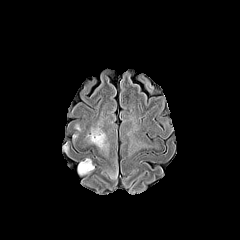
FLAIR magnetic resonance.
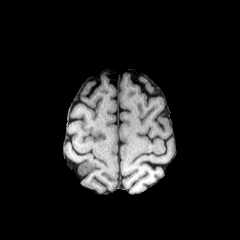
T1-weighted MR image.
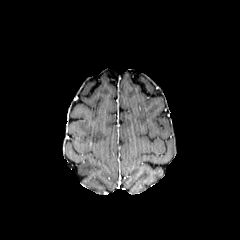
Same slice, post-contrast T1-weighted MR.
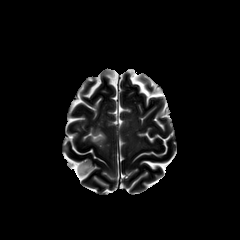
T2-weighted MR image of the same slice.
Head. 240x240 px.
2 peritumoral edema regions are bounded by (x1=90, y1=129, x2=105, y2=147), (x1=78, y1=159, x2=94, y2=174).